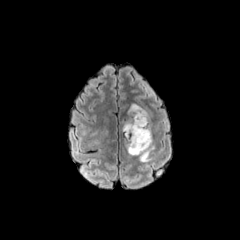
FLAIR magnetic resonance.
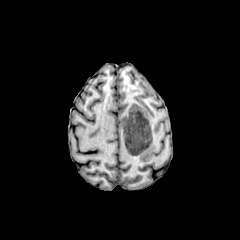
T1-weighted MR of the same slice.
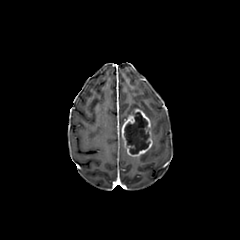
Post-contrast T1-weighted MR image.
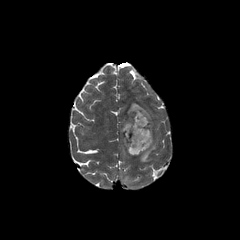
T2-weighted MR image of the same slice.
Axial slice | 240x240
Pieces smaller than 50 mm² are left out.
Annotated regions:
- enhancing tumor: (left=121, top=108, right=152, bottom=156)
- necrotic tumor core: (left=124, top=112, right=149, bottom=154)
- peritumoral edema: (left=139, top=140, right=155, bottom=161), (left=127, top=103, right=150, bottom=120)